FLAIR MR.
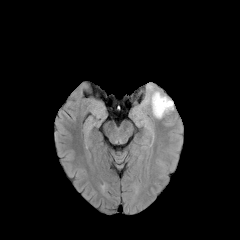
T1-weighted MR.
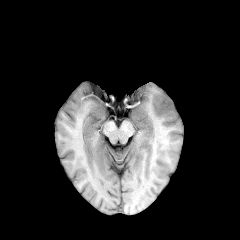
Post-contrast T1-weighted magnetic resonance.
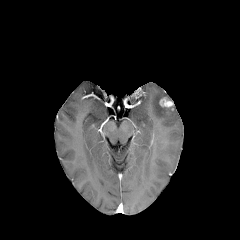
T2-weighted MR image.
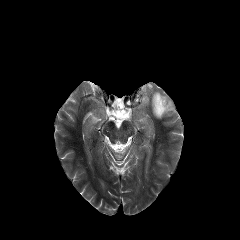
240x240 px
{"enhancing_tumor": [{"x1": 159, "y1": 97, "x2": 173, "y2": 110}], "peritumoral_edema": [{"x1": 134, "y1": 83, "x2": 173, "y2": 128}]}